Slice index 55, Brain, Image width 240 mm
FLAIR MR.
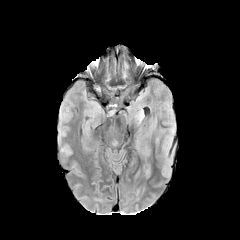
T1-weighted MR.
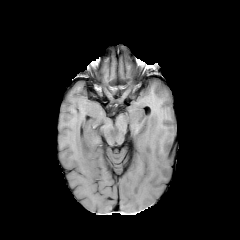
Post-contrast T1-weighted magnetic resonance.
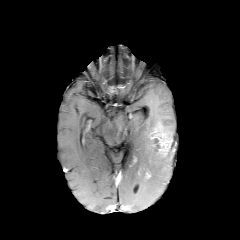
T2-weighted MR image.
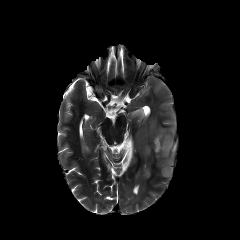
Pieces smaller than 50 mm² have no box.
{"enhancing_tumor": ["bbox(152, 133, 171, 154)"], "peritumoral_edema": ["bbox(164, 129, 174, 140)", "bbox(162, 160, 171, 176)"]}